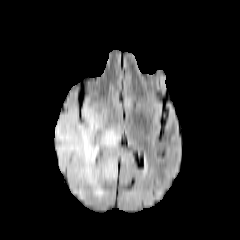
FLAIR MR.
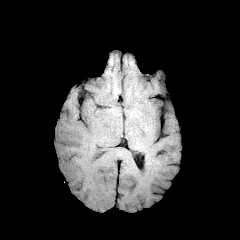
T1-weighted MR.
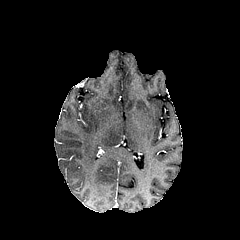
Post-contrast T1-weighted MR.
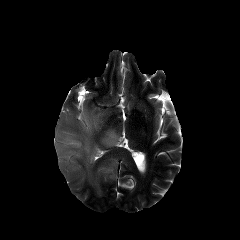
Same slice, T2-weighted MR.
Brain
{
  "peritumoral_edema": [
    "[55, 102, 121, 198]"
  ]
}